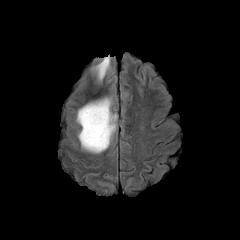
FLAIR MRI.
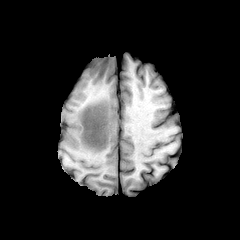
T1-weighted MR.
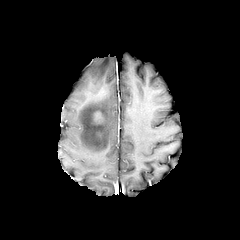
Post-contrast T1-weighted MR image.
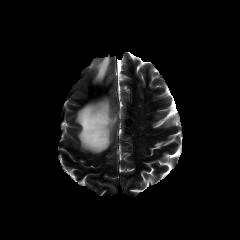
T2-weighted magnetic resonance.
Head, Axial plane
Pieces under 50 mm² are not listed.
{"peritumoral_edema": ["region(76, 98, 116, 153)", "region(95, 56, 110, 80)"], "enhancing_tumor": ["region(92, 111, 105, 125)"]}